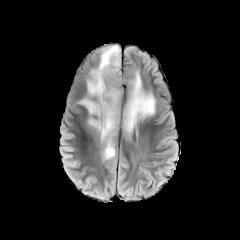
FLAIR MR.
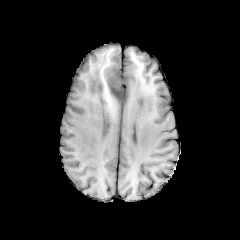
T1-weighted MR image.
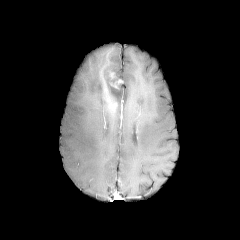
Post-contrast T1-weighted magnetic resonance.
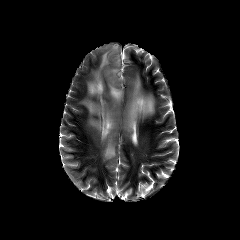
T2-weighted MR.
Image size 240x240; Head
peritumoral_edema:
  - [122, 70, 155, 140]
  - [78, 45, 122, 160]
enhancing_tumor:
  - [110, 79, 123, 89]
  - [105, 70, 115, 79]